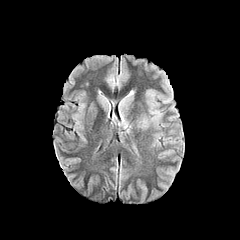
FLAIR MR.
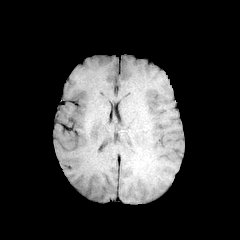
T1-weighted MR.
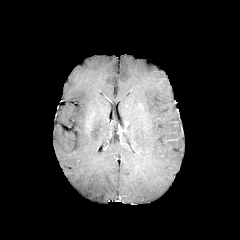
Post-contrast T1-weighted magnetic resonance of the same slice.
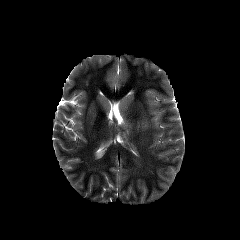
T2-weighted magnetic resonance.
240x240; Axial plane
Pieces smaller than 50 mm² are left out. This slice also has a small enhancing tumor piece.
• peritumoral edema: bbox=[120, 113, 127, 128]